Slice 104/155; Image width 240 mm, 1.00 mm slice spacing; Head
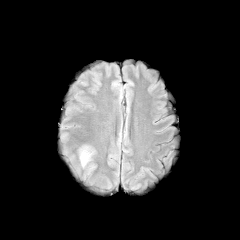
FLAIR MR.
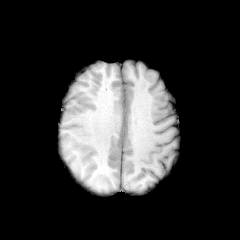
T1-weighted magnetic resonance.
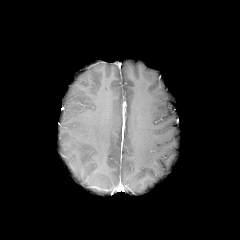
Same slice, post-contrast T1-weighted MRI.
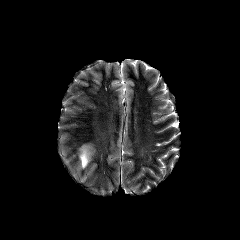
Same slice, T2-weighted MR.
The peritumoral edema appears at l=80, t=147, r=90, b=166.